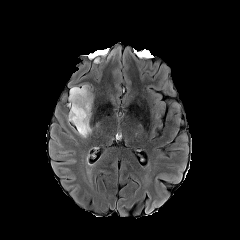
FLAIR magnetic resonance.
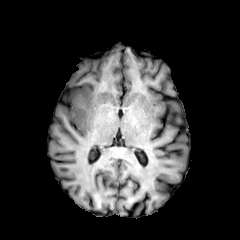
T1-weighted magnetic resonance.
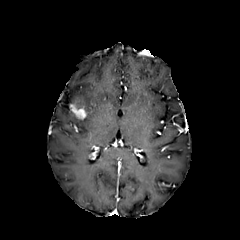
Post-contrast T1-weighted MR.
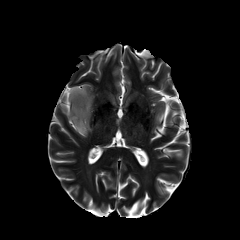
T2-weighted MR.
240x240 px.
{
  "enhancing_tumor": [
    "69, 102, 86, 119"
  ],
  "peritumoral_edema": [
    "68, 84, 93, 137"
  ]
}